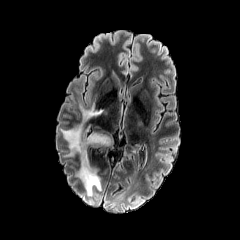
FLAIR MR.
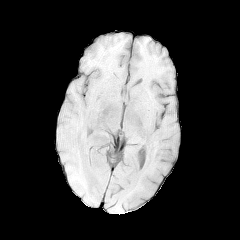
Same slice, T1-weighted MR.
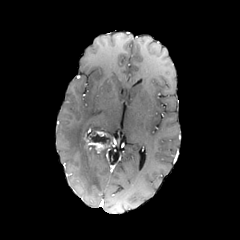
Post-contrast T1-weighted MRI.
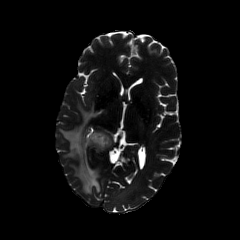
T2-weighted MR of the same slice.
Image size 240x240, Brain, Axial plane
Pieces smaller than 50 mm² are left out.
peritumoral edema: bounding box bbox(61, 103, 103, 195)
enhancing tumor: bounding box bbox(84, 130, 113, 152)
necrotic tumor core: bounding box bbox(90, 134, 109, 143)